FLAIR MR image.
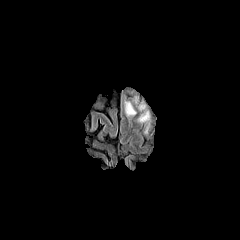
T1-weighted MR image.
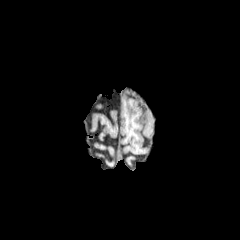
Post-contrast T1-weighted MR.
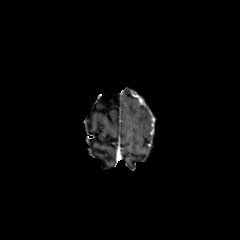
T2-weighted MR.
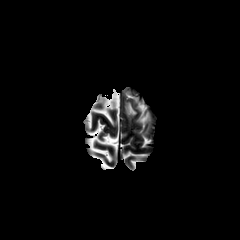
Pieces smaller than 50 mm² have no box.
The 2 largest peritumoral edema regions are bounded by x1=125, y1=101, x2=136, y2=116; x1=137, y1=111, x2=149, y2=122.